FLAIR MRI.
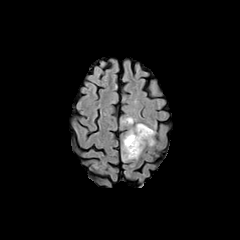
T1-weighted MRI.
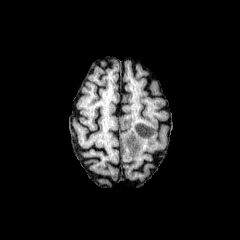
Post-contrast T1-weighted MRI.
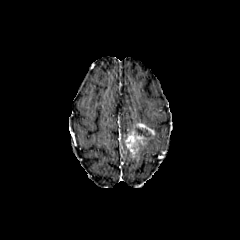
T2-weighted MR image.
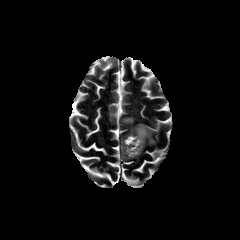
Brain | Axial plane | 240x240
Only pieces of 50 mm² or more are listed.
The enhancing tumor appears at x1=124, y1=123, x2=154, y2=157. The necrotic tumor core is at x1=136, y1=128, x2=150, y2=137. The 2 largest peritumoral edema regions are bounded by x1=121, y1=117, x2=135, y2=124; x1=123, y1=134, x2=145, y2=160.